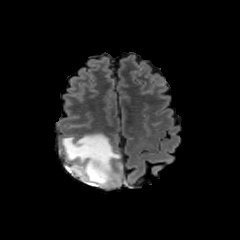
FLAIR MR image.
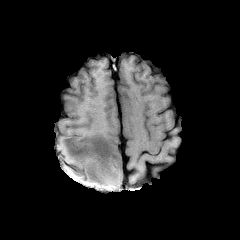
T1-weighted magnetic resonance.
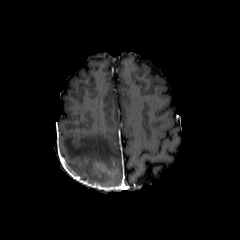
Same slice, post-contrast T1-weighted magnetic resonance.
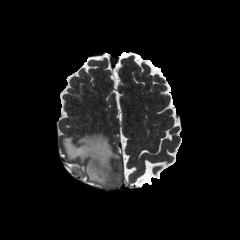
T2-weighted magnetic resonance of the same slice.
Head, Axial plane
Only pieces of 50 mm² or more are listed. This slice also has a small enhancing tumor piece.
peritumoral_edema:
  - (62,133,122,186)